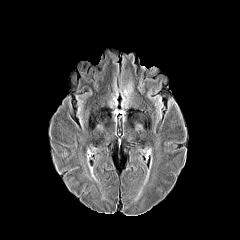
FLAIR MRI.
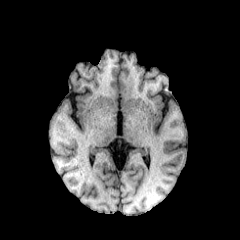
T1-weighted MR image.
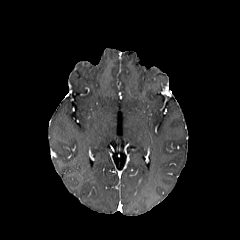
Post-contrast T1-weighted MR.
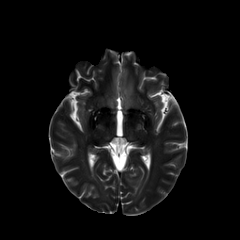
T2-weighted magnetic resonance.
Axial slice, Brain
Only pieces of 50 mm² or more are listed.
The largest peritumoral edema region is bounded by [122,82,132,105].